Axial plane; Brain
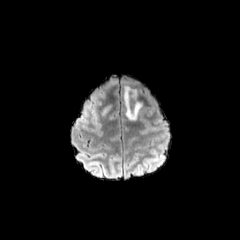
FLAIR magnetic resonance.
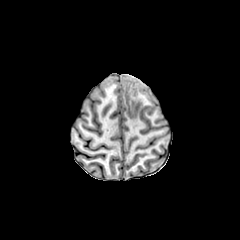
Same slice, T1-weighted MR.
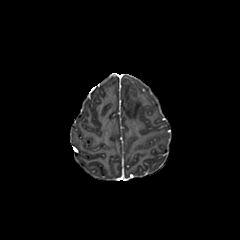
Post-contrast T1-weighted MR.
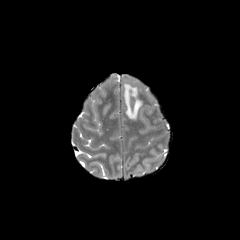
T2-weighted MRI.
peritumoral edema: 124 86 141 120